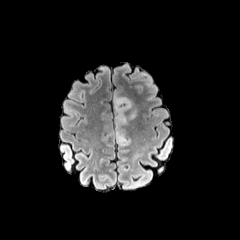
FLAIR MR.
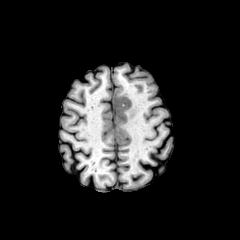
T1-weighted magnetic resonance of the same slice.
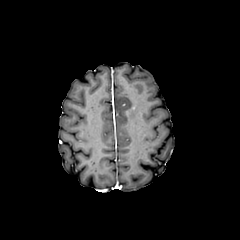
Post-contrast T1-weighted MR.
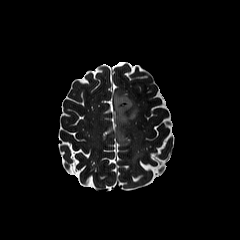
T2-weighted MRI.
Axial plane.
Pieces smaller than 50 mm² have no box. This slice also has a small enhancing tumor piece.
Findings:
* peritumoral edema: x1=113 y1=92 x2=136 y2=122